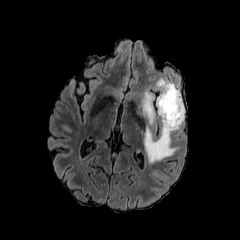
FLAIR MR.
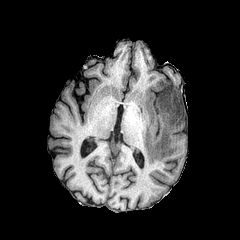
T1-weighted MR image.
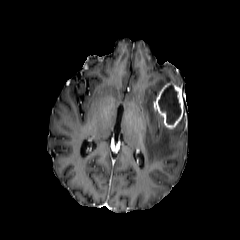
Post-contrast T1-weighted MRI of the same slice.
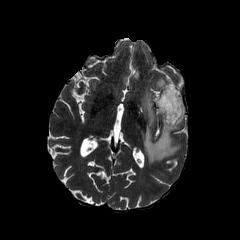
T2-weighted MR image.
Head, Axial plane
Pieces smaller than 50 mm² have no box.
Segmented structures:
* necrotic tumor core: <box>158,84,181,124</box>
* peritumoral edema: <box>142,91,155,124</box>, <box>156,79,173,89</box>, <box>143,105,185,163</box>
* enhancing tumor: <box>156,83,183,129</box>